FLAIR magnetic resonance.
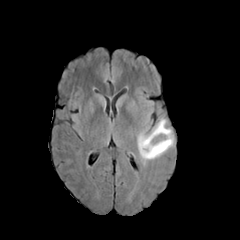
T1-weighted MR.
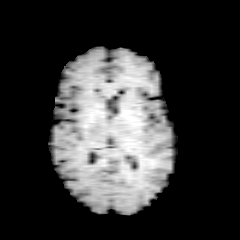
Post-contrast T1-weighted MR.
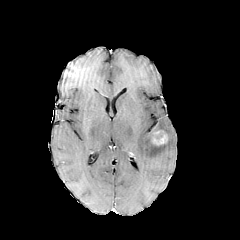
T2-weighted MRI.
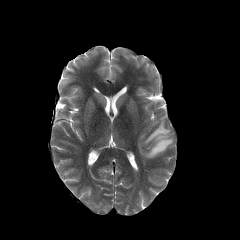
Image size 240x240; Head
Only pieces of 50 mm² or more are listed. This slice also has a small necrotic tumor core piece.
The enhancing tumor appears at left=152, top=130, right=168, bottom=145. The peritumoral edema is located at left=137, top=118, right=173, bottom=160.